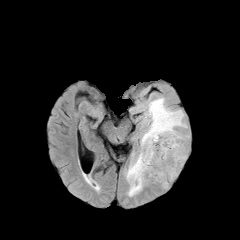
FLAIR magnetic resonance.
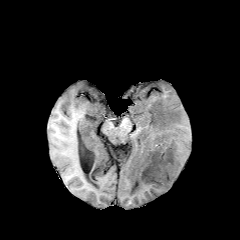
T1-weighted MR of the same slice.
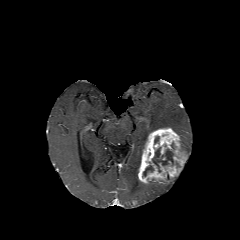
Same slice, post-contrast T1-weighted MRI.
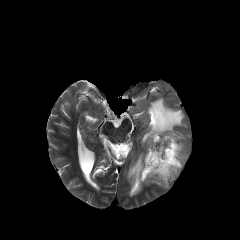
T2-weighted MR image.
Axial view; Brain
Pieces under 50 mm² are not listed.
The largest peritumoral edema region is at <box>125,97,189,196</box>. The 2 largest necrotic tumor core regions are bounded by <box>143,165,153,176</box>, <box>152,147,173,167</box>. The enhancing tumor is bounded by <box>138,127,187,184</box>.